FLAIR MR image.
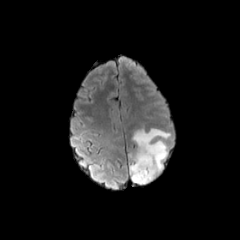
T1-weighted magnetic resonance.
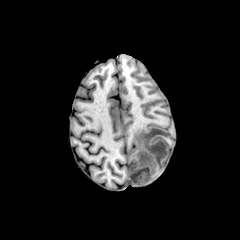
Post-contrast T1-weighted MR image.
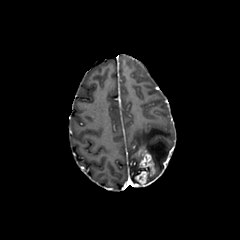
T2-weighted magnetic resonance.
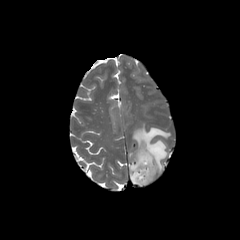
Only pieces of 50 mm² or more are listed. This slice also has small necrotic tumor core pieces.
enhancing tumor: box(134, 146, 155, 184) | peritumoral edema: box(133, 128, 170, 182); box(129, 154, 138, 183)